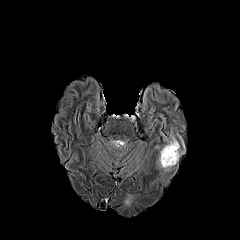
FLAIR magnetic resonance.
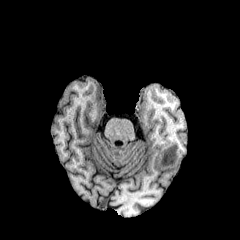
Same slice, T1-weighted MR image.
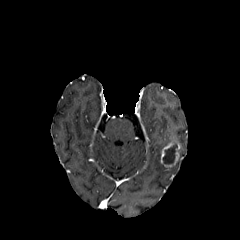
Post-contrast T1-weighted magnetic resonance.
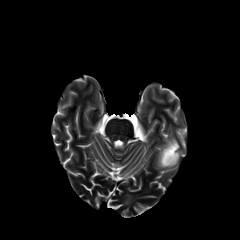
T2-weighted magnetic resonance of the same slice.
Axial view
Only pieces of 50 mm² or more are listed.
enhancing tumor: 160, 142, 179, 167 | necrotic tumor core: 163, 143, 177, 164 | peritumoral edema: 123, 193, 132, 206; 157, 151, 169, 172